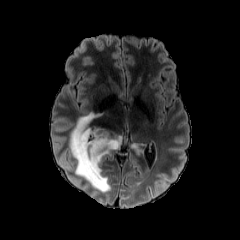
FLAIR MR.
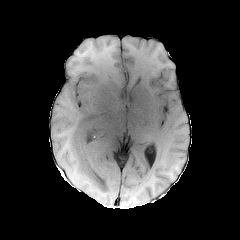
T1-weighted magnetic resonance of the same slice.
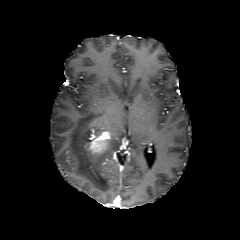
Post-contrast T1-weighted MR.
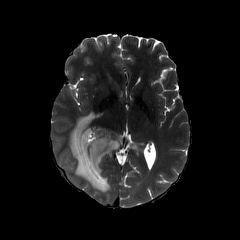
T2-weighted MR image of the same slice.
Axial plane | Brain
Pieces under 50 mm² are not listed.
The largest peritumoral edema region is bounded by (x1=69, y1=112, x2=121, y2=192). The enhancing tumor appears at (x1=87, y1=131, x2=110, y2=153).